FLAIR magnetic resonance.
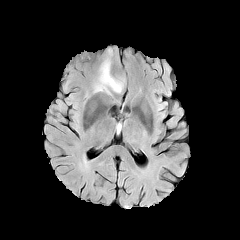
T1-weighted magnetic resonance.
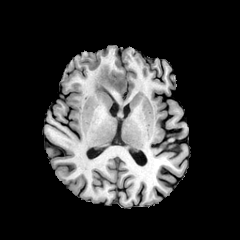
Post-contrast T1-weighted MR.
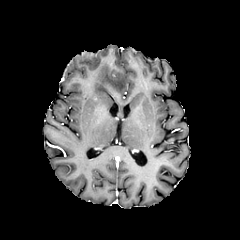
T2-weighted MRI.
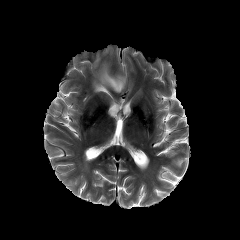
Axial slice
peritumoral edema: {"x1": 93, "y1": 61, "x2": 124, "y2": 94}